FLAIR MR image.
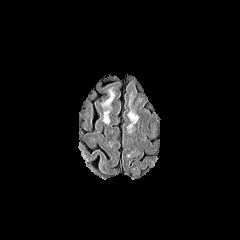
T1-weighted MRI.
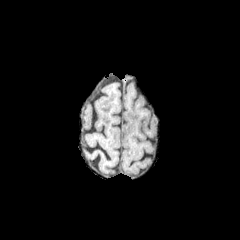
Post-contrast T1-weighted MRI.
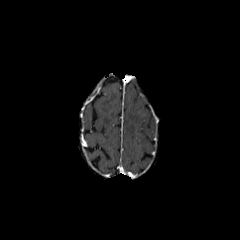
T2-weighted MRI.
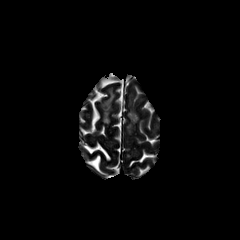
Image size 240x240, Head, Axial plane
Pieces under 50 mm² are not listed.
{
  "peritumoral_edema": [
    "x1=128 y1=111 x2=138 y2=122"
  ]
}